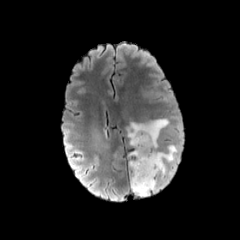
FLAIR magnetic resonance.
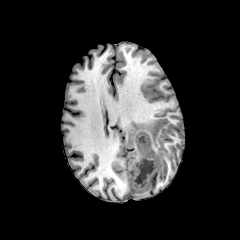
T1-weighted MR image.
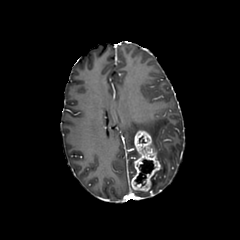
Same slice, post-contrast T1-weighted MRI.
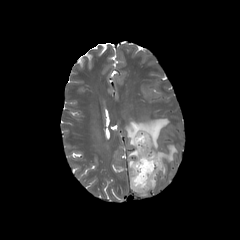
T2-weighted MR image of the same slice.
240x240.
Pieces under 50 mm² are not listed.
<segmentation>
  <necrotic_tumor_core>(left=135, top=159, right=154, bottom=186)</necrotic_tumor_core>
  <peritumoral_edema>(left=129, top=160, right=134, bottom=178), (left=126, top=118, right=169, bottom=149), (left=154, top=145, right=177, bottom=176), (left=131, top=186, right=149, bottom=196)</peritumoral_edema>
  <enhancing_tumor>(left=131, top=130, right=160, bottom=191)</enhancing_tumor>
</segmentation>